Image size 240x240, Image covers 240 mm x 240 mm, Head, Axial plane
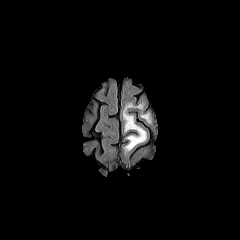
FLAIR MR image.
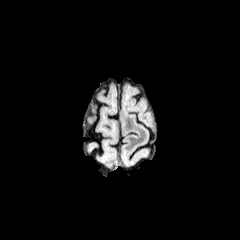
T1-weighted MR image.
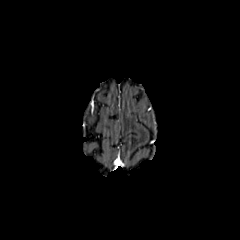
Same slice, post-contrast T1-weighted MR.
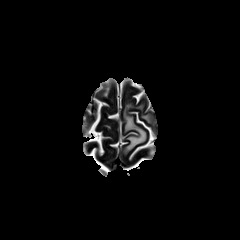
T2-weighted MRI of the same slice.
peritumoral edema = <bbox>141, 113, 151, 122</bbox>, <bbox>123, 103, 146, 153</bbox>